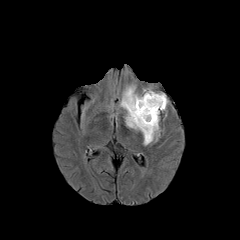
FLAIR MRI.
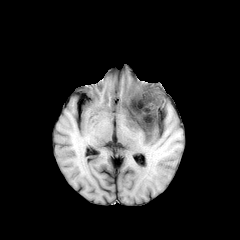
T1-weighted magnetic resonance of the same slice.
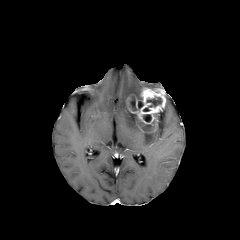
Post-contrast T1-weighted magnetic resonance of the same slice.
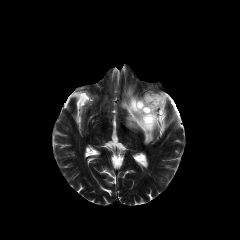
T2-weighted MRI.
240x240 | Axial plane | Brain
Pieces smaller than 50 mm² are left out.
Segmented structures:
* peritumoral edema: bbox(120, 85, 140, 130); bbox(141, 122, 158, 144)
* enhancing tumor: bbox(126, 88, 166, 132)
* necrotic tumor core: bbox(143, 114, 151, 121); bbox(147, 97, 162, 106)